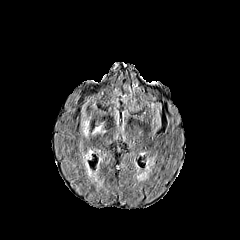
FLAIR MR image.
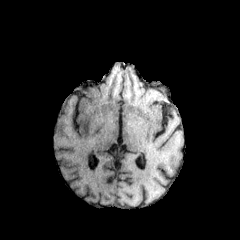
T1-weighted MR.
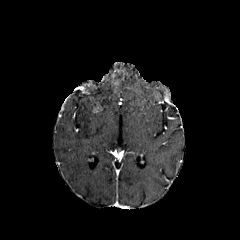
Post-contrast T1-weighted magnetic resonance.
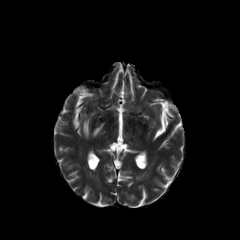
Same slice, T2-weighted MRI.
Brain
{
  "peritumoral_edema": [
    "<box>83,120,89,136</box>",
    "<box>93,124,102,134</box>"
  ]
}